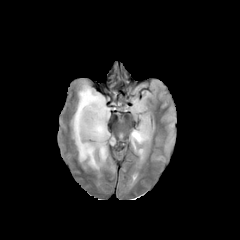
FLAIR MR.
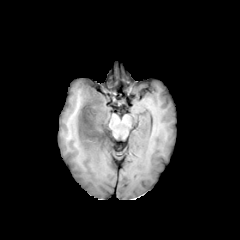
T1-weighted magnetic resonance of the same slice.
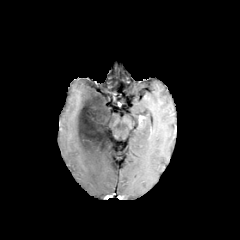
Same slice, post-contrast T1-weighted MRI.
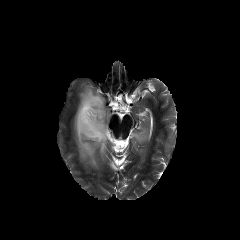
Same slice, T2-weighted magnetic resonance.
Axial slice; Head
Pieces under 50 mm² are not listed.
necrotic tumor core: bounding box <box>77,93,109,145</box>
peritumoral edema: bounding box <box>73,85,114,169</box>, <box>131,128,149,149</box>